FLAIR MRI.
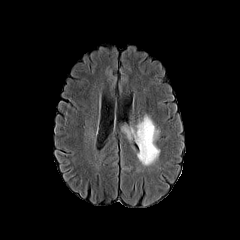
T1-weighted magnetic resonance.
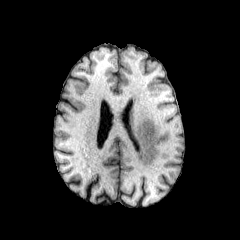
Post-contrast T1-weighted MR image.
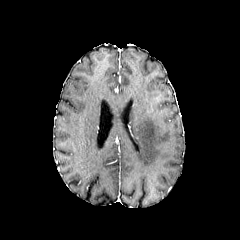
T2-weighted MR image.
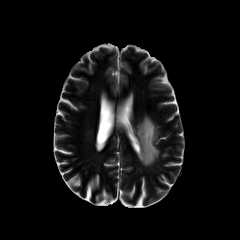
Axial plane.
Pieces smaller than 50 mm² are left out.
peritumoral edema at (x1=132, y1=116, x2=159, y2=165)